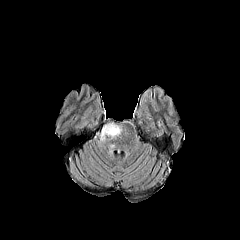
FLAIR magnetic resonance.
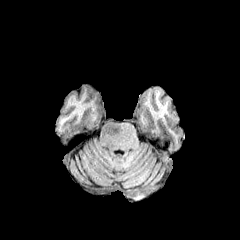
T1-weighted MR.
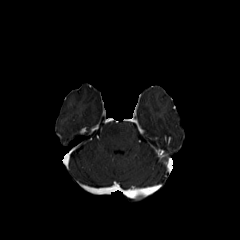
Same slice, post-contrast T1-weighted MR.
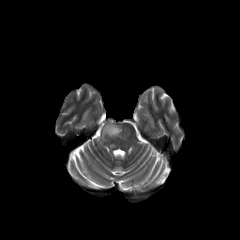
Same slice, T2-weighted MR.
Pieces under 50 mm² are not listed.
The largest peritumoral edema region is bounded by 101:123:121:139.